FLAIR MRI.
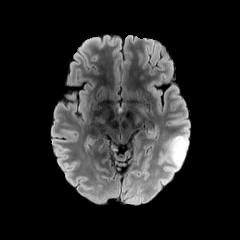
T1-weighted magnetic resonance.
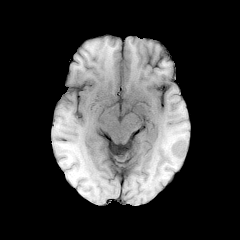
Post-contrast T1-weighted magnetic resonance.
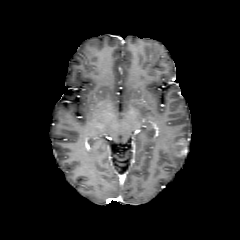
T2-weighted MR.
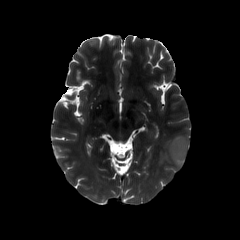
Axial plane
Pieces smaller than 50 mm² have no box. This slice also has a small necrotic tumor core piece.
{"enhancing_tumor": ["bbox(172, 138, 188, 157)"], "peritumoral_edema": ["bbox(159, 128, 189, 183)"]}